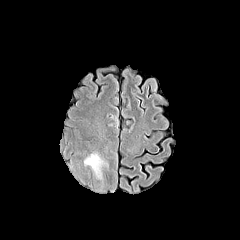
FLAIR MRI.
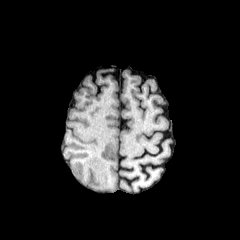
T1-weighted MR image of the same slice.
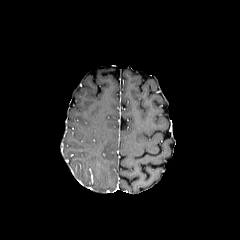
Post-contrast T1-weighted magnetic resonance.
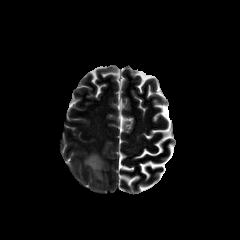
T2-weighted MRI.
Head; Axial plane
The peritumoral edema appears at box(83, 153, 109, 180).